FLAIR MRI.
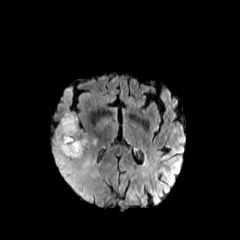
T1-weighted magnetic resonance.
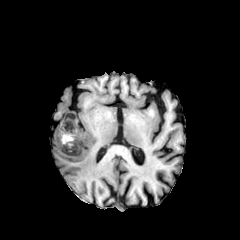
Post-contrast T1-weighted magnetic resonance.
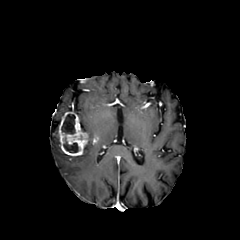
T2-weighted MR image.
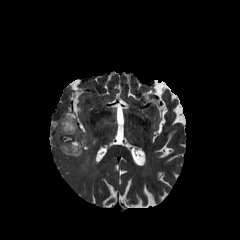
Axial plane | 240x240 | Brain
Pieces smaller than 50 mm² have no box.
Segmented structures:
* necrotic tumor core: x1=63, y1=137, x2=78, y2=152; x1=61, y1=114, x2=75, y2=134
* peritumoral edema: x1=98, y1=119, x2=109, y2=129; x1=51, y1=125, x2=97, y2=202
* enhancing tumor: x1=57, y1=111, x2=89, y2=156